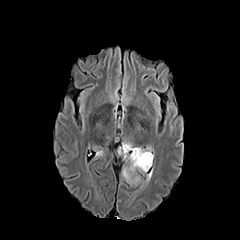
FLAIR MR.
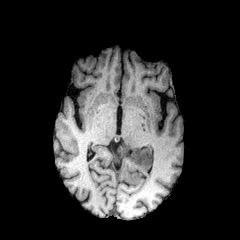
T1-weighted MRI of the same slice.
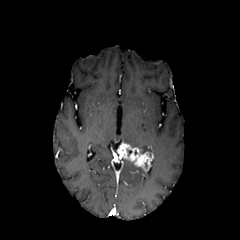
Post-contrast T1-weighted magnetic resonance.
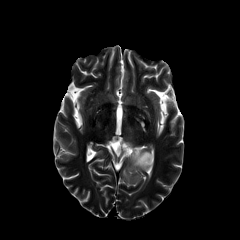
T2-weighted MR.
240x240 px, Head
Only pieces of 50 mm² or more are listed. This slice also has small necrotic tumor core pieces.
peritumoral edema: 122,162,144,183 | enhancing tumor: 117,142,153,171